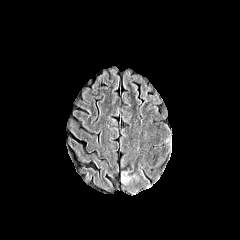
FLAIR MRI.
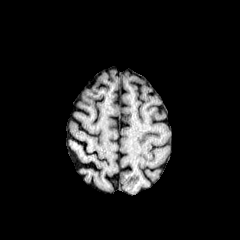
T1-weighted MRI.
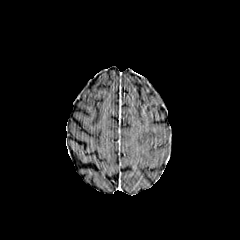
Post-contrast T1-weighted MRI.
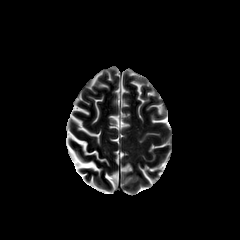
Same slice, T2-weighted magnetic resonance.
240x240 px | Head | Axial plane
peritumoral edema at [121, 168, 135, 183]